Slice 55/155
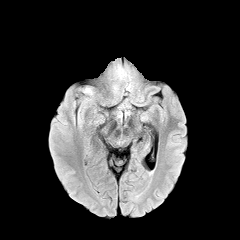
FLAIR MRI.
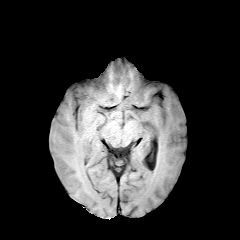
T1-weighted MRI of the same slice.
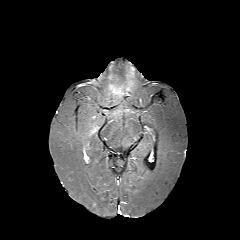
Post-contrast T1-weighted MRI.
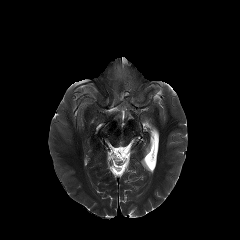
Same slice, T2-weighted magnetic resonance.
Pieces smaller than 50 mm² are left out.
<segmentation>
  <peritumoral_edema>bbox=[117, 67, 125, 78]</peritumoral_edema>
</segmentation>